FLAIR MRI.
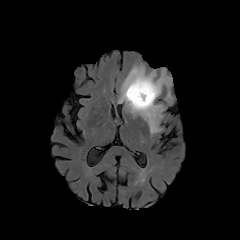
T1-weighted MRI.
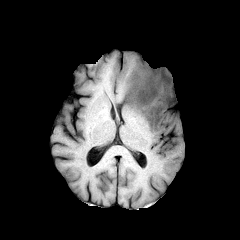
Post-contrast T1-weighted MR.
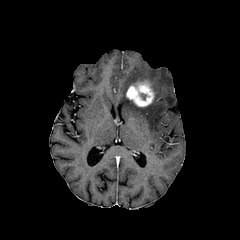
T2-weighted MR image.
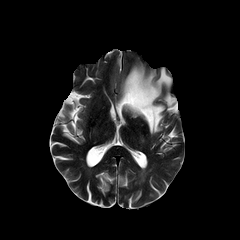
240x240. Brain.
The enhancing tumor is at bbox(126, 79, 155, 107). The peritumoral edema is located at bbox(118, 64, 173, 134).